Axial plane; Image width 240 mm; Image size 240x240; Head
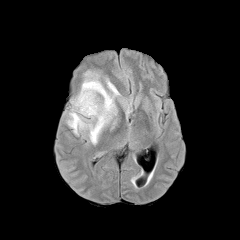
FLAIR magnetic resonance.
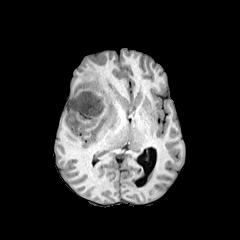
T1-weighted MRI.
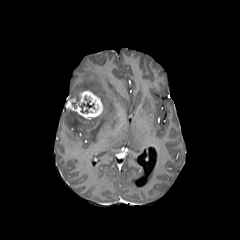
Same slice, post-contrast T1-weighted MRI.
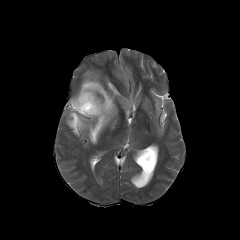
T2-weighted MR image.
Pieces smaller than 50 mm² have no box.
peritumoral edema at [67, 71, 119, 143]
enhancing tumor at [66, 90, 103, 118]
necrotic tumor core at [80, 101, 93, 112]